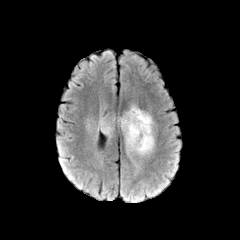
FLAIR MR.
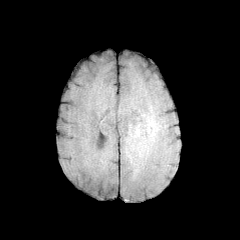
T1-weighted magnetic resonance.
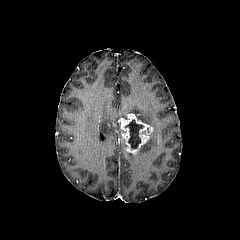
Post-contrast T1-weighted magnetic resonance.
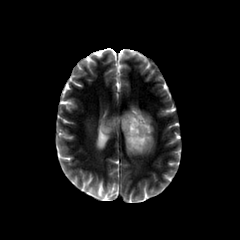
T2-weighted MRI.
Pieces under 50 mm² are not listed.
{"necrotic_tumor_core": ["(125,120,143,148)"], "peritumoral_edema": ["(120,105,152,126)", "(99,117,115,137)", "(136,128,154,154)"], "enhancing_tumor": ["(118,113,152,154)"]}